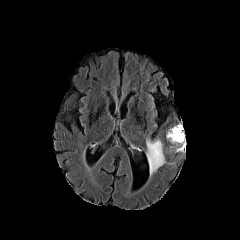
FLAIR MR image.
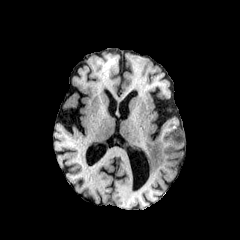
T1-weighted MR.
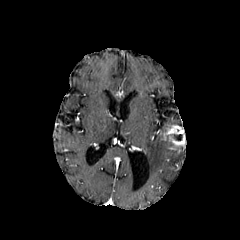
Post-contrast T1-weighted magnetic resonance.
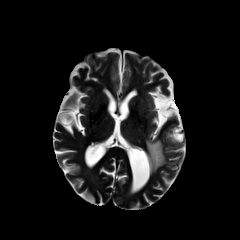
Same slice, T2-weighted MRI.
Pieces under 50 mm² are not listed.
The largest peritumoral edema region appears at [146, 138, 166, 174]. The enhancing tumor is located at [166, 125, 185, 151]. The necrotic tumor core is bounded by [172, 134, 182, 140].